240x240 px | Slice 87 of 155
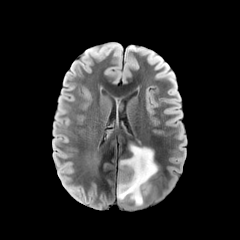
FLAIR magnetic resonance.
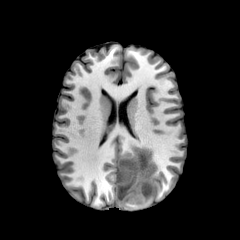
T1-weighted MR.
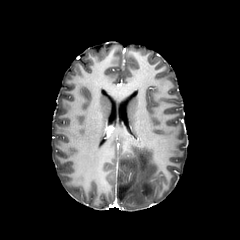
Post-contrast T1-weighted MR.
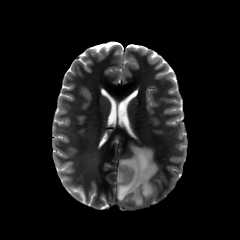
T2-weighted magnetic resonance.
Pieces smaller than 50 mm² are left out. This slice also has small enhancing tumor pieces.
necrotic tumor core: (121,152,137,183) | peritumoral edema: (117,145,157,205)